Slice 55 of 155. Axial plane. 240x240 px.
FLAIR magnetic resonance.
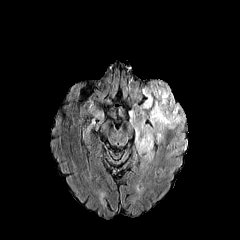
T1-weighted MR image.
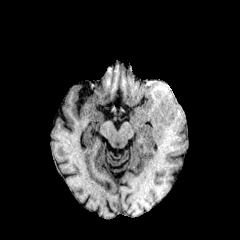
Post-contrast T1-weighted magnetic resonance.
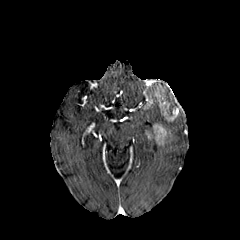
T2-weighted MRI.
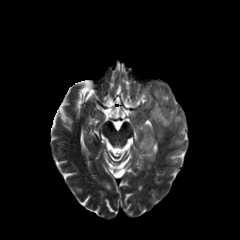
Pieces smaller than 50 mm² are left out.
peritumoral edema: bbox=[130, 81, 184, 160]
enhancing tumor: bbox=[155, 89, 179, 121]; bbox=[143, 91, 153, 108]; bbox=[153, 123, 166, 144]